FLAIR MR image.
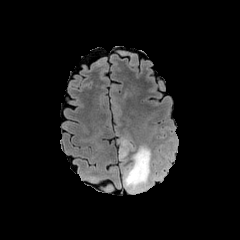
T1-weighted MR image.
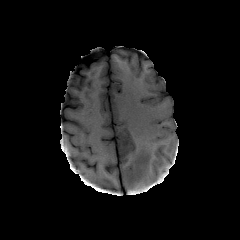
Post-contrast T1-weighted MRI.
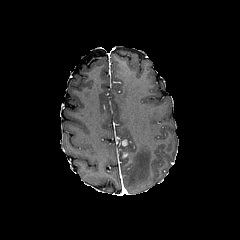
T2-weighted MR image.
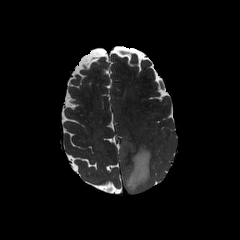
Axial slice. 240x240.
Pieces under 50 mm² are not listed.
* peritumoral edema: (left=119, top=140, right=134, bottom=163), (left=122, top=144, right=162, bottom=193)
* enhancing tumor: (left=121, top=139, right=128, bottom=146)